Axial plane. Image width 240 mm, 1.00 mm slice spacing. Slice 87 of 155. Head.
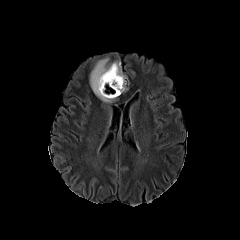
FLAIR MR.
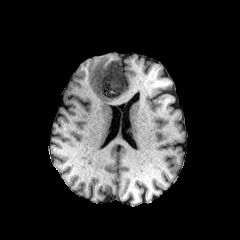
Same slice, T1-weighted MR image.
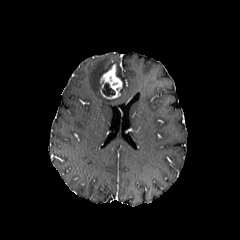
Post-contrast T1-weighted magnetic resonance of the same slice.
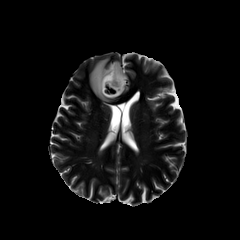
T2-weighted magnetic resonance.
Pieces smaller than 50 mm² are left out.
The largest necrotic tumor core region is bounded by (102, 83, 115, 96). The enhancing tumor is bounded by (100, 64, 122, 99). The peritumoral edema is bounded by (89, 57, 127, 102).